Slice index 94.
FLAIR MR image.
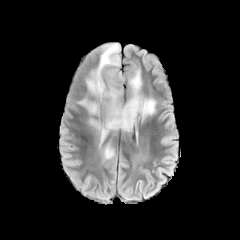
T1-weighted MR.
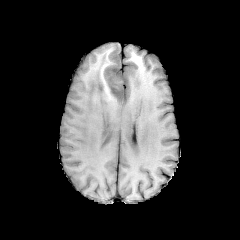
Post-contrast T1-weighted MR image.
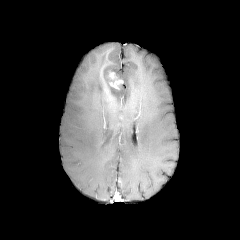
T2-weighted MR.
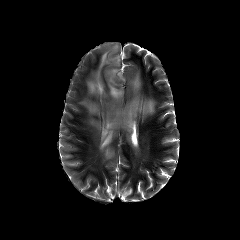
peritumoral_edema:
  - (101, 139, 115, 163)
  - (86, 43, 155, 148)
  - (78, 95, 99, 115)
enhancing_tumor:
  - (106, 68, 123, 89)